Brain; Axial view
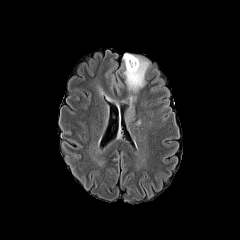
FLAIR MR.
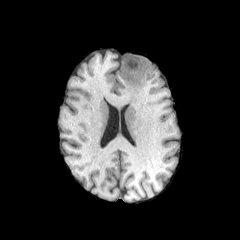
T1-weighted MR.
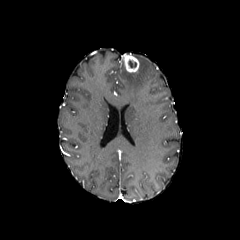
Post-contrast T1-weighted MR.
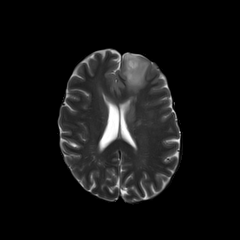
Same slice, T2-weighted magnetic resonance.
2 peritumoral edema regions are located at [x1=122, y1=56, x2=149, y2=92], [x1=124, y1=103, x2=135, y2=123]. The necrotic tumor core is located at [x1=128, y1=60, x2=136, y2=67]. The enhancing tumor lies within [x1=123, y1=54, x2=139, y2=72].